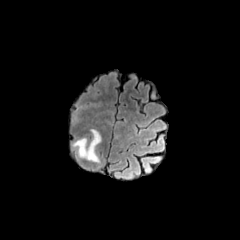
FLAIR MR.
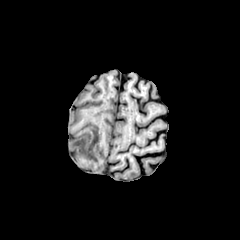
T1-weighted MR of the same slice.
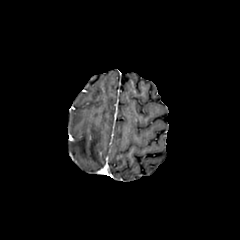
Post-contrast T1-weighted MR image.
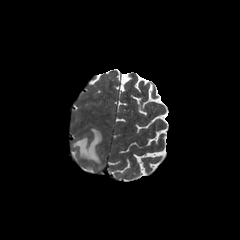
T2-weighted magnetic resonance of the same slice.
240x240, Axial view
peritumoral edema = rect(72, 129, 101, 162)